Head, Axial view, Slice 99/155, Image size 240x240
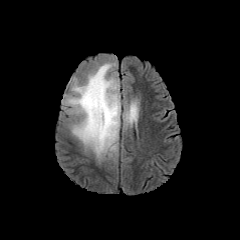
FLAIR MRI.
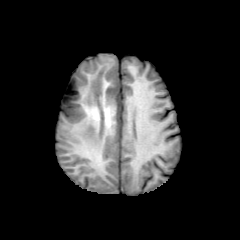
Same slice, T1-weighted MR.
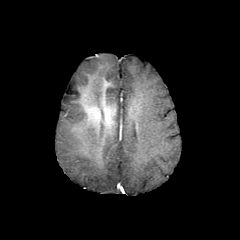
Same slice, post-contrast T1-weighted MR.
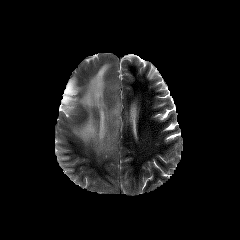
T2-weighted MRI of the same slice.
<segmentation>
  <peritumoral_edema>rect(62, 62, 120, 160); rect(123, 86, 142, 134)</peritumoral_edema>
</segmentation>